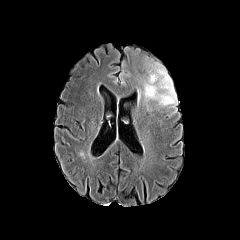
FLAIR magnetic resonance.
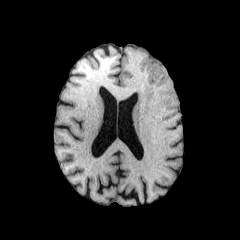
T1-weighted MR of the same slice.
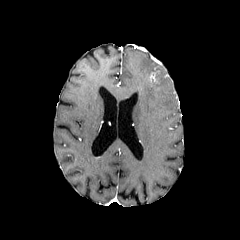
Post-contrast T1-weighted magnetic resonance of the same slice.
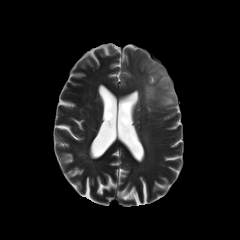
Same slice, T2-weighted MRI.
Brain
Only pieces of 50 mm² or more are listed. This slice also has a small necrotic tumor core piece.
Segmented structures:
• enhancing tumor: 149 71 159 83
• peritumoral edema: 140 61 177 110